FLAIR MR image.
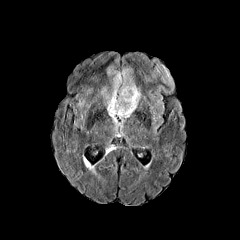
T1-weighted MR image.
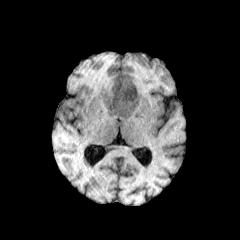
Post-contrast T1-weighted magnetic resonance.
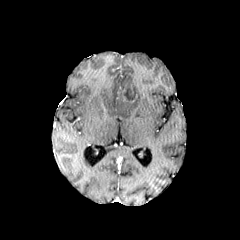
T2-weighted MR.
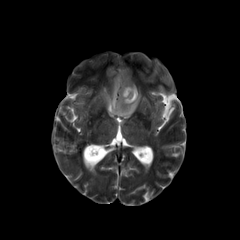
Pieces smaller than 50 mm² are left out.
peritumoral edema = 101:65:140:124
enhancing tumor = 122:89:137:102
necrotic tumor core = 124:86:137:100